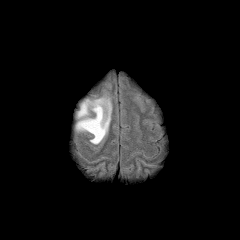
FLAIR MR image.
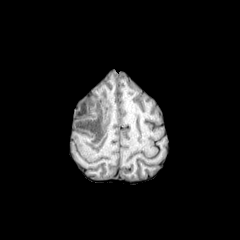
Same slice, T1-weighted MR.
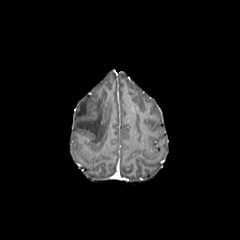
Same slice, post-contrast T1-weighted MRI.
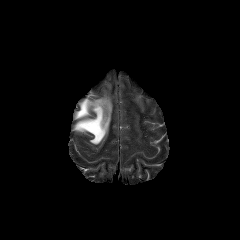
T2-weighted magnetic resonance.
240x240 px
<segmentation>
  <peritumoral_edema>75:97:111:144</peritumoral_edema>
</segmentation>